Slice index 81. Axial slice.
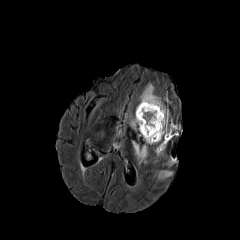
FLAIR MR.
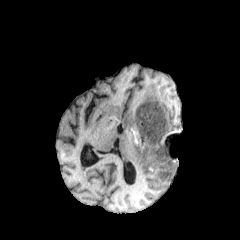
T1-weighted MR image.
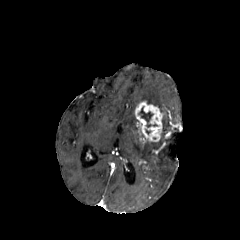
Post-contrast T1-weighted MR of the same slice.
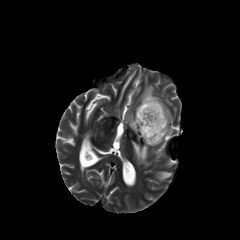
T2-weighted MR image.
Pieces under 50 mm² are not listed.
• peritumoral edema: box=[132, 141, 158, 162]; box=[140, 84, 177, 142]; box=[130, 117, 138, 130]; box=[156, 170, 172, 179]; box=[166, 158, 176, 165]
• necrotic tumor core: box=[138, 106, 153, 122]
• enhancing tumor: box=[155, 141, 166, 154]; box=[135, 101, 165, 142]